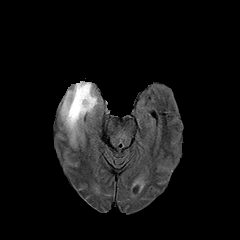
FLAIR MR.
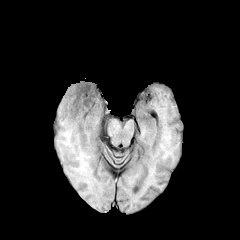
T1-weighted MRI.
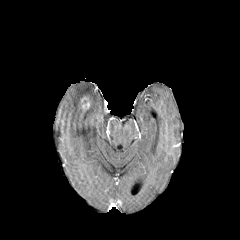
Same slice, post-contrast T1-weighted magnetic resonance.
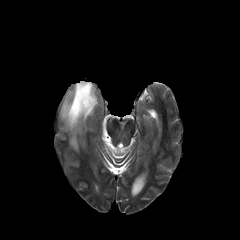
T2-weighted magnetic resonance of the same slice.
Head. 240x240.
enhancing tumor: bounding box x1=81 y1=96 x2=90 y2=109
peritumoral edema: bounding box x1=60 y1=81 x2=98 y2=147